FLAIR MR.
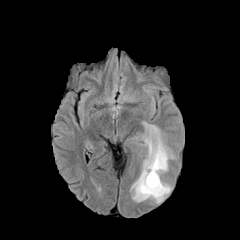
T1-weighted MRI.
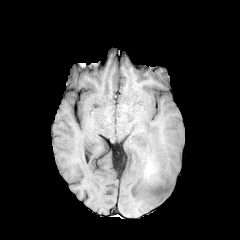
Post-contrast T1-weighted magnetic resonance.
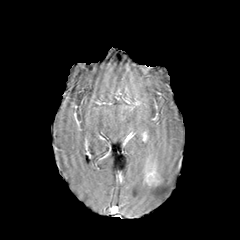
T2-weighted magnetic resonance.
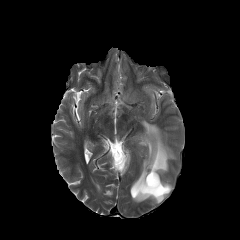
Axial view
enhancing tumor: l=145, t=171, r=158, b=185 | peritumoral edema: l=131, t=121, r=174, b=203